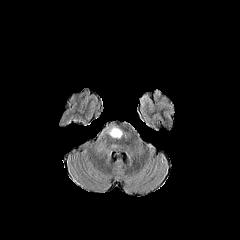
FLAIR MR image.
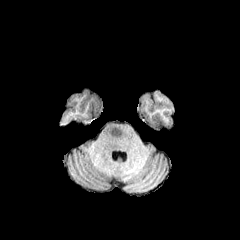
T1-weighted MRI.
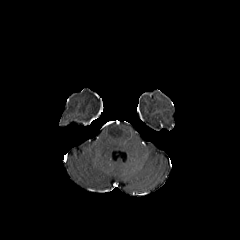
Post-contrast T1-weighted MR of the same slice.
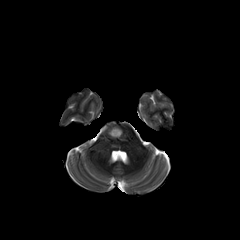
T2-weighted MR image of the same slice.
240x240. Axial plane.
The peritumoral edema appears at x1=107, y1=126, x2=122, y2=138.